FLAIR MR image.
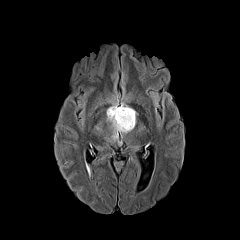
T1-weighted MRI.
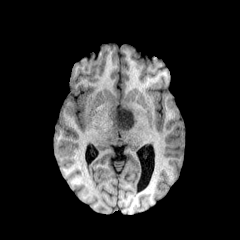
Post-contrast T1-weighted MR image.
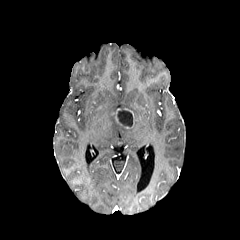
T2-weighted magnetic resonance.
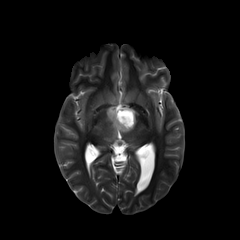
Brain.
necrotic tumor core: bounding box <bbox>117, 110, 132, 127</bbox>
peritumoral edema: bounding box <bbox>106, 102, 137, 141</bbox>
enhancing tumor: bounding box <bbox>112, 108, 134, 128</bbox>